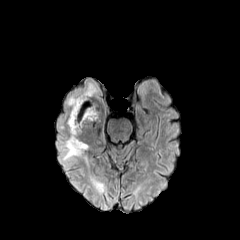
FLAIR MR.
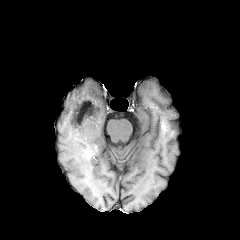
Same slice, T1-weighted MRI.
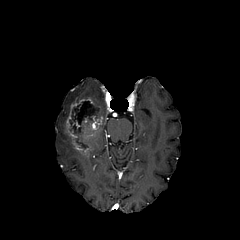
Same slice, post-contrast T1-weighted magnetic resonance.
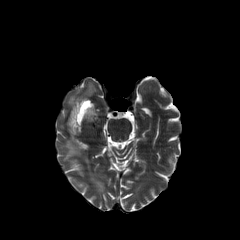
T2-weighted MR image.
Head
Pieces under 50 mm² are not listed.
{"necrotic_tumor_core": ["(76,137,85,147)", "(73,101,99,133)"], "enhancing_tumor": ["(66,96,102,156)"], "peritumoral_edema": ["(67,94,77,106)", "(60,136,81,160)", "(90,174,105,193)"]}